FLAIR MR.
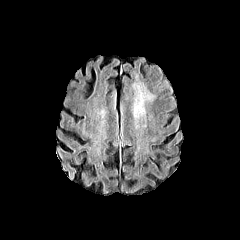
T1-weighted magnetic resonance.
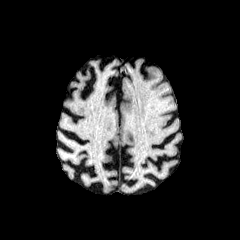
Post-contrast T1-weighted magnetic resonance.
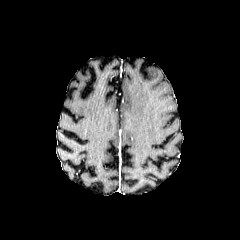
T2-weighted MR image.
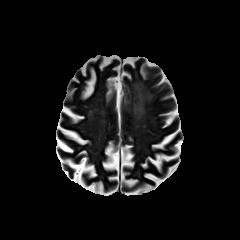
Axial slice
peritumoral edema at (x1=133, y1=85, x2=152, y2=116)